Slice 106/155. Image covers 240 mm x 240 mm. Head.
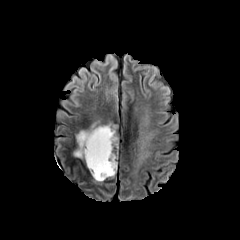
FLAIR MRI.
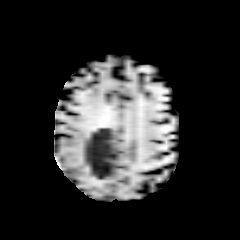
T1-weighted magnetic resonance of the same slice.
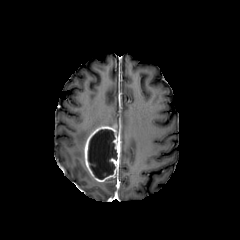
Post-contrast T1-weighted magnetic resonance.
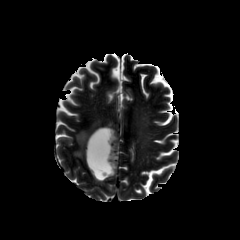
T2-weighted MRI.
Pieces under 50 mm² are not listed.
Segmented structures:
- peritumoral edema: <box>74,124,97,157</box>
- necrotic tumor core: <box>88,129,117,179</box>
- enhancing tumor: <box>84,125,120,182</box>